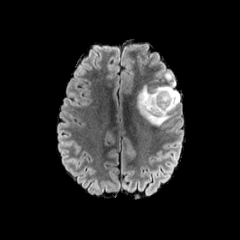
FLAIR MR.
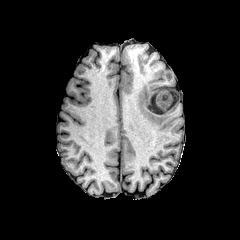
Same slice, T1-weighted MR.
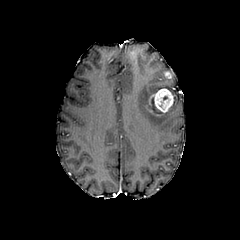
Same slice, post-contrast T1-weighted MR.
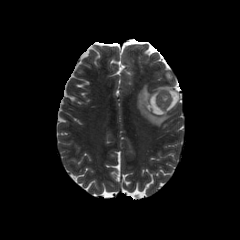
T2-weighted MR.
Axial view
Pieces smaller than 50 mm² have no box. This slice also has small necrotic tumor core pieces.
peritumoral edema: bounding box rect(135, 70, 180, 133)
enhancing tumor: bounding box rect(145, 88, 177, 116)